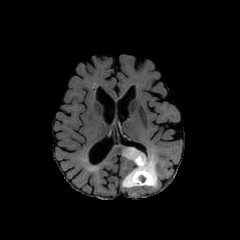
FLAIR magnetic resonance.
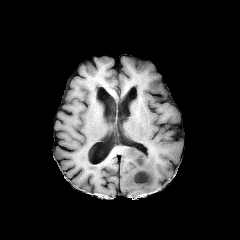
Same slice, T1-weighted magnetic resonance.
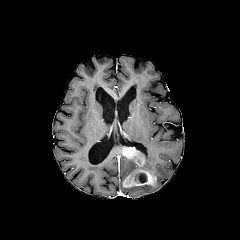
Post-contrast T1-weighted MRI.
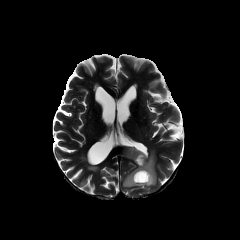
T2-weighted MR image.
Head; Axial view; 240x240
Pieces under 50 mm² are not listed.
{
  "necrotic_tumor_core": [
    "(x1=135, y1=173, x2=147, y2=182)"
  ],
  "enhancing_tumor": [
    "(x1=122, y1=147, x2=144, y2=166)",
    "(x1=123, y1=168, x2=156, y2=187)"
  ],
  "peritumoral_edema": [
    "(x1=124, y1=151, x2=159, y2=188)"
  ]
}